Slice index 42. Axial slice.
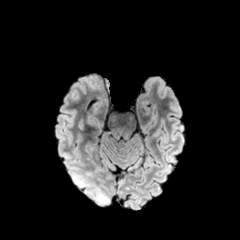
FLAIR magnetic resonance.
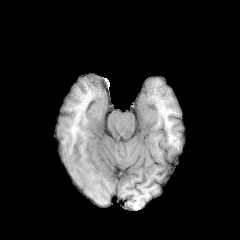
T1-weighted MR image of the same slice.
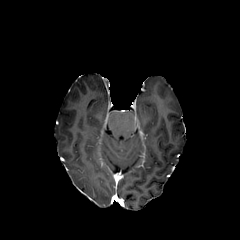
Same slice, post-contrast T1-weighted MR image.
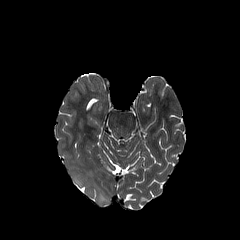
T2-weighted MRI of the same slice.
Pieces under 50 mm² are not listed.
peritumoral edema: bbox=[96, 188, 108, 203]; bbox=[72, 174, 86, 186]